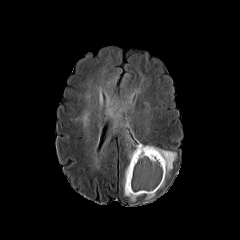
FLAIR MRI.
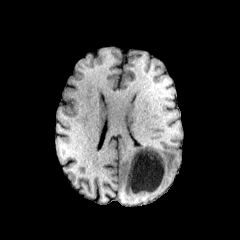
T1-weighted MRI.
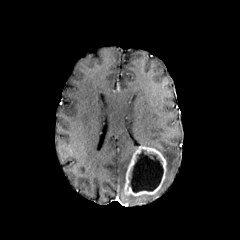
Same slice, post-contrast T1-weighted MR image.
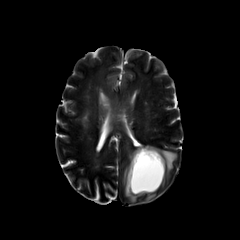
T2-weighted MRI.
Head.
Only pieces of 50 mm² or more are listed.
<segmentation>
  <necrotic_tumor_core>129:150:163:192</necrotic_tumor_core>
  <peritumoral_edema>146:145:176:177, 101:88:135:161</peritumoral_edema>
  <enhancing_tumor>124:145:166:195</enhancing_tumor>
</segmentation>